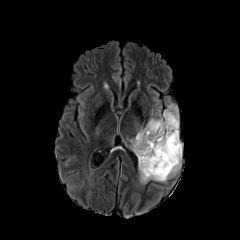
FLAIR MR image.
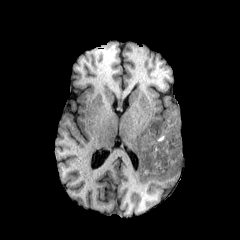
T1-weighted magnetic resonance.
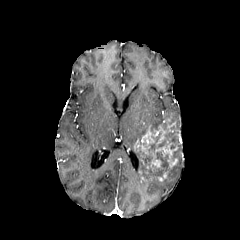
Same slice, post-contrast T1-weighted MR.
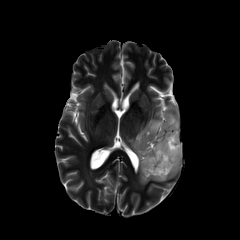
Same slice, T2-weighted magnetic resonance.
Axial plane
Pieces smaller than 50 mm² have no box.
peritumoral edema: (164,106,179,129), (130,118,163,150), (162,157,180,182) | enhancing tumor: (134,122,175,154), (158,172,167,181), (150,143,179,170) | necrotic tumor core: (135,149,177,180), (148,125,178,152), (172,144,180,160), (151,118,169,131)